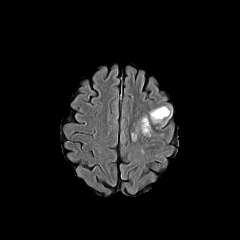
FLAIR MR.
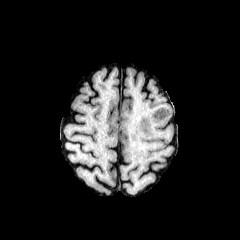
T1-weighted magnetic resonance.
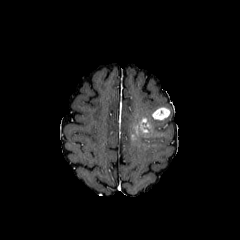
Same slice, post-contrast T1-weighted magnetic resonance.
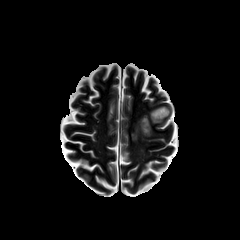
T2-weighted MR of the same slice.
Brain
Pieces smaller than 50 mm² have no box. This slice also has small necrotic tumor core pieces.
peritumoral edema = (x1=149, y1=105, x2=172, y2=127)
enhancing tumor = (x1=135, y1=117, x2=150, y2=133), (x1=152, y1=107, x2=169, y2=120)